Brain. Axial plane.
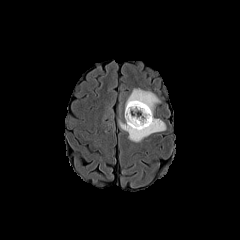
FLAIR MR.
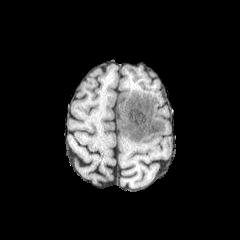
T1-weighted MR image of the same slice.
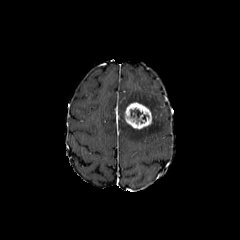
Post-contrast T1-weighted MR.
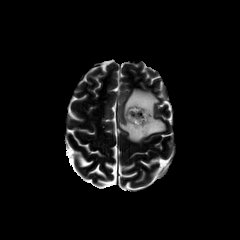
T2-weighted magnetic resonance.
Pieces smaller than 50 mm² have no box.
necrotic tumor core — bbox=[131, 109, 142, 117]
peritumoral edema — bbox=[119, 89, 166, 142]
enhancing tumor — bbox=[124, 102, 152, 129]